FLAIR MR image.
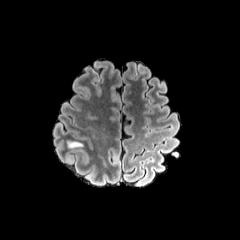
T1-weighted MR image.
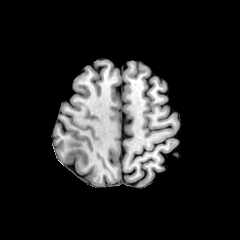
Post-contrast T1-weighted MR.
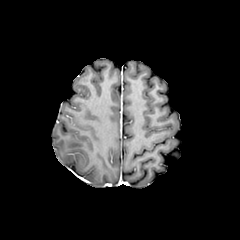
T2-weighted MR.
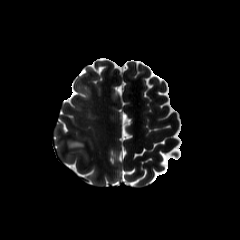
Head
peritumoral edema at rect(67, 140, 83, 147)